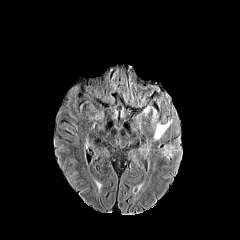
FLAIR magnetic resonance.
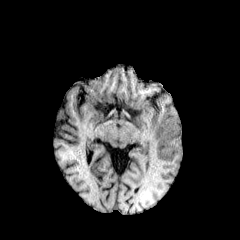
Same slice, T1-weighted MR.
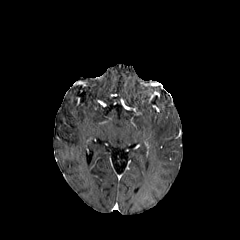
Post-contrast T1-weighted MR image.
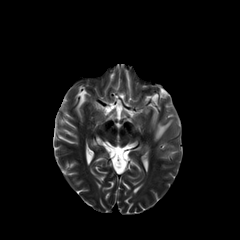
T2-weighted MR image of the same slice.
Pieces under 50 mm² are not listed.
<segmentation>
  <peritumoral_edema>154,119,172,140; 163,146,173,158</peritumoral_edema>
</segmentation>